Axial slice.
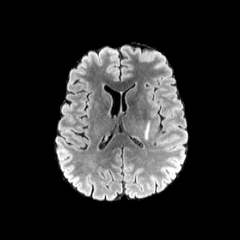
FLAIR MR image.
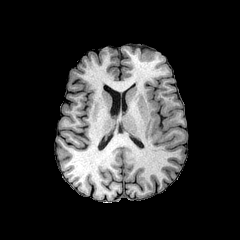
T1-weighted magnetic resonance of the same slice.
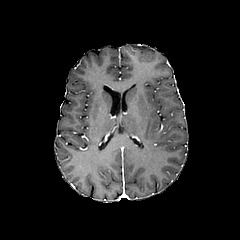
Post-contrast T1-weighted MR.
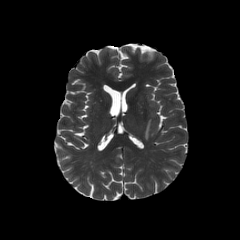
T2-weighted magnetic resonance.
peritumoral edema: bounding box {"x1": 143, "y1": 120, "x2": 150, "y2": 140}